FLAIR MR image.
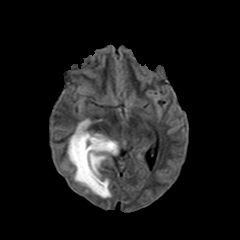
T1-weighted MR image.
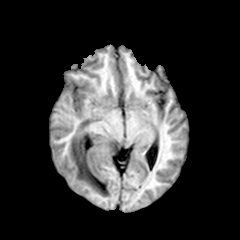
Post-contrast T1-weighted MRI.
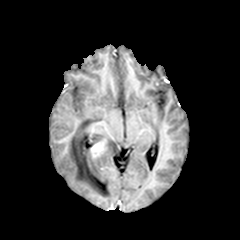
T2-weighted magnetic resonance.
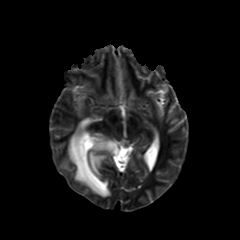
Head; Axial slice
Segmented structures:
* peritumoral edema: (x1=67, y1=119, x2=118, y2=197)
* enhancing tumor: (x1=90, y1=139, x2=106, y2=159)